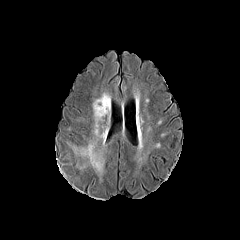
FLAIR magnetic resonance.
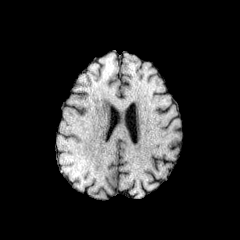
T1-weighted MR.
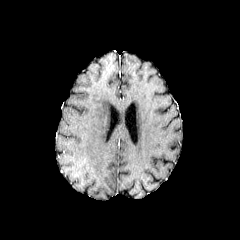
Post-contrast T1-weighted MR image.
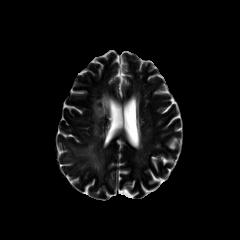
T2-weighted MR.
Head. Axial plane.
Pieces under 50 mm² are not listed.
peritumoral edema at box=[93, 94, 107, 121]; box=[80, 144, 103, 171]